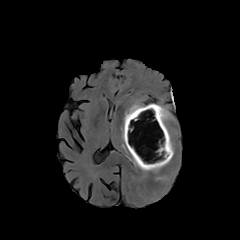
FLAIR MR.
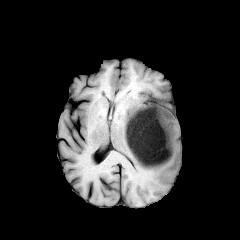
T1-weighted MR.
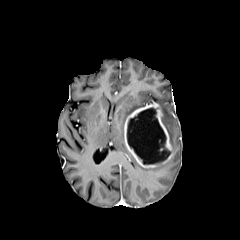
Post-contrast T1-weighted MR.
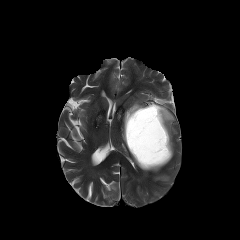
T2-weighted MR.
240x240 px | Axial view
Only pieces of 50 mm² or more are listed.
enhancing tumor: bounding box [x1=124, y1=103, x2=173, y2=168]
peritumoral edema: bounding box [x1=157, y1=100, x2=174, y2=153], [x1=122, y1=125, x2=128, y2=152], [x1=131, y1=154, x2=169, y2=172], [x1=123, y1=102, x2=144, y2=124]
necrotic tumor core: bounding box [x1=127, y1=108, x2=170, y2=164]